Slice index 99, Brain, Axial plane
FLAIR magnetic resonance.
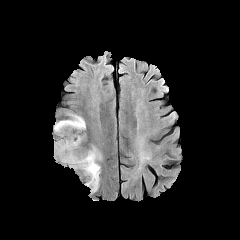
T1-weighted MRI.
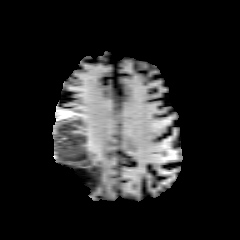
Post-contrast T1-weighted MR image.
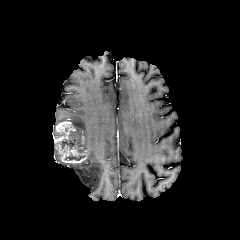
T2-weighted MRI.
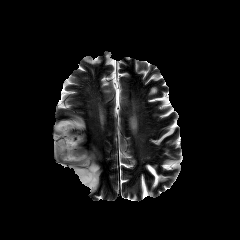
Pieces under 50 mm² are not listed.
<segmentation>
  <necrotic_tumor_core>65, 156, 84, 160; 61, 138, 77, 148</necrotic_tumor_core>
  <enhancing_tumor>53, 121, 87, 163</enhancing_tumor>
  <peritumoral_edema>68, 146, 101, 193; 54, 113, 85, 133; 70, 131, 81, 146</peritumoral_edema>
</segmentation>